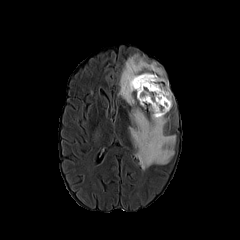
FLAIR magnetic resonance.
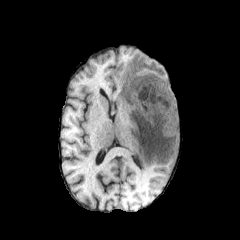
Same slice, T1-weighted MRI.
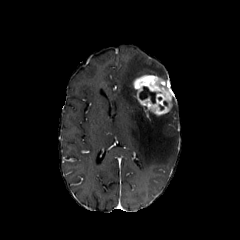
Post-contrast T1-weighted MRI.
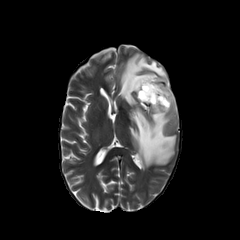
T2-weighted MR.
Brain; Axial plane
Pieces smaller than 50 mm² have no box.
necrotic tumor core — bbox=[139, 86, 155, 103]
peritumoral edema — bbox=[118, 53, 176, 170]
enhancing tumor — bbox=[133, 75, 174, 115]